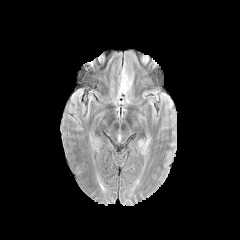
FLAIR MR.
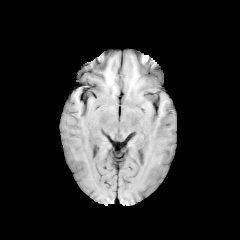
Same slice, T1-weighted MR.
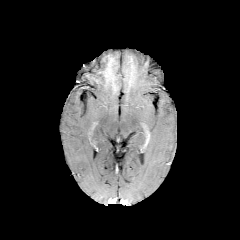
Post-contrast T1-weighted MR image of the same slice.
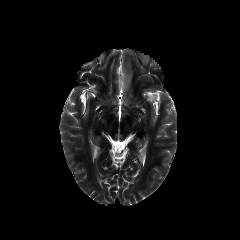
Same slice, T2-weighted magnetic resonance.
Head | 240x240 px
The peritumoral edema is bounded by {"x1": 120, "y1": 68, "x2": 131, "y2": 90}.